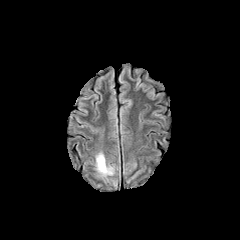
FLAIR MRI.
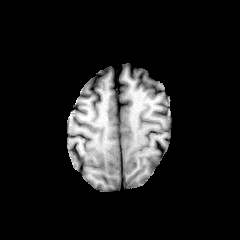
T1-weighted MRI.
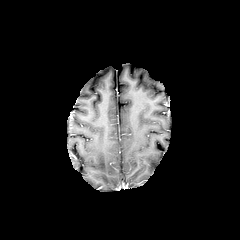
Post-contrast T1-weighted MR.
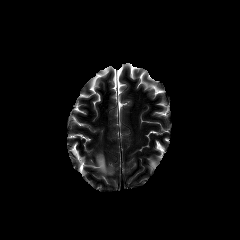
T2-weighted MR image.
Image size 240x240
peritumoral edema = x1=96, y1=154, x2=112, y2=174